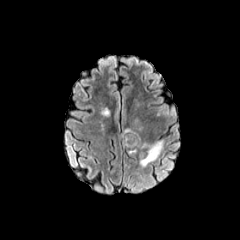
FLAIR MR image.
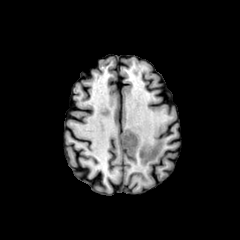
T1-weighted MR image of the same slice.
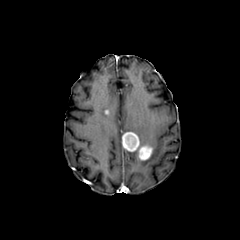
Post-contrast T1-weighted MRI.
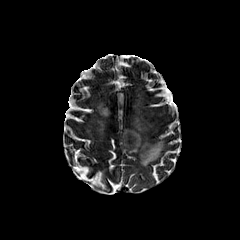
T2-weighted MR of the same slice.
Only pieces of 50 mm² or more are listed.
- peritumoral edema: region(101, 108, 110, 116); region(124, 128, 163, 166)
- enhancing tumor: region(139, 145, 152, 160); region(122, 132, 139, 151)